Axial view.
FLAIR magnetic resonance.
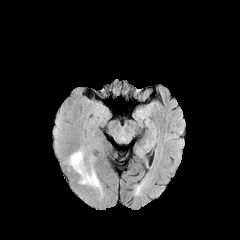
T1-weighted MRI.
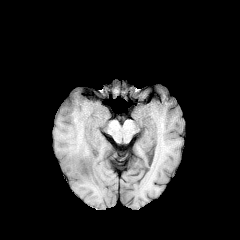
Post-contrast T1-weighted magnetic resonance.
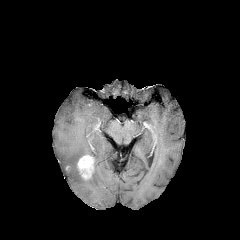
T2-weighted MRI.
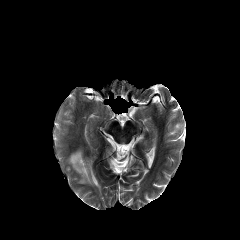
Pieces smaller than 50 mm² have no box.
The largest enhancing tumor region appears at (77,156,93,179). 2 peritumoral edema regions are located at (79,170,101,190), (67,149,84,174).